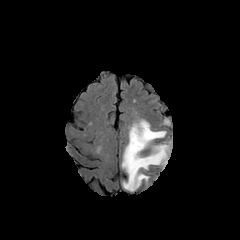
FLAIR MRI.
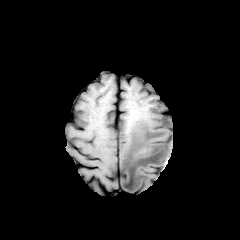
T1-weighted MRI.
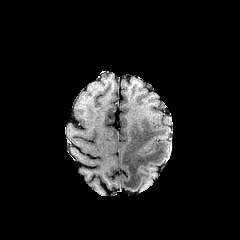
Post-contrast T1-weighted MR image.
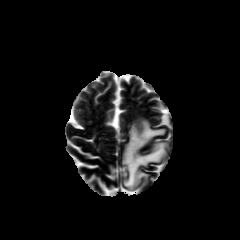
Same slice, T2-weighted magnetic resonance.
Brain
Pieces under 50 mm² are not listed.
{
  "peritumoral_edema": [
    "bbox(121, 119, 169, 191)"
  ]
}